FLAIR magnetic resonance.
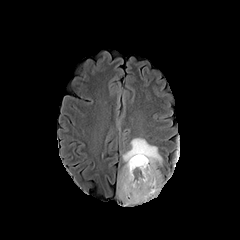
T1-weighted MR image.
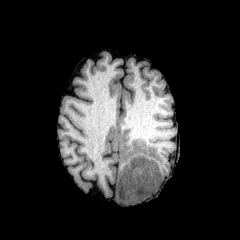
Post-contrast T1-weighted MR.
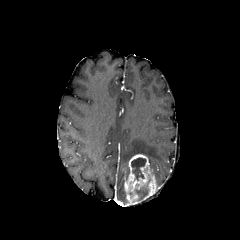
T2-weighted MR image.
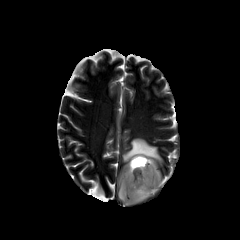
Brain
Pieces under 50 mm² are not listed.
necrotic tumor core: bounding box bbox=[136, 189, 147, 199]; bbox=[131, 157, 145, 180]
enhancing tumor: bounding box bbox=[123, 154, 159, 205]
peritumoral edema: bounding box bbox=[117, 169, 125, 201]; bbox=[122, 138, 162, 184]